Head. Slice 118/155. Image covers 240 mm x 240 mm. 240x240.
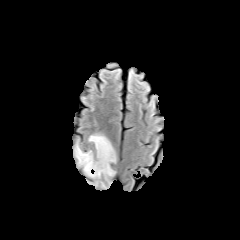
FLAIR MRI.
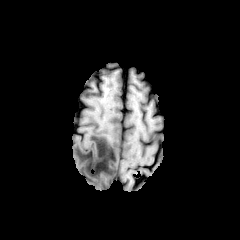
Same slice, T1-weighted MRI.
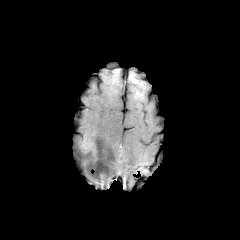
Same slice, post-contrast T1-weighted MRI.
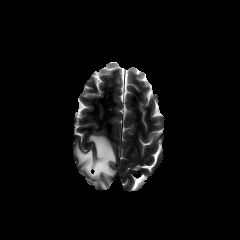
T2-weighted MR image of the same slice.
peritumoral edema: <box>76,135,115,177</box>